Head | Slice index 48 | Axial plane
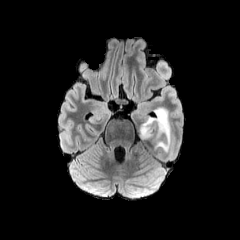
FLAIR MR.
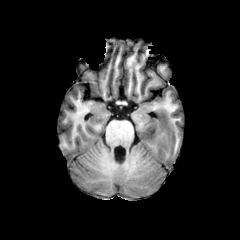
T1-weighted MRI of the same slice.
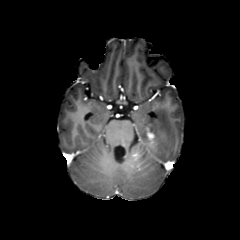
Same slice, post-contrast T1-weighted MR.
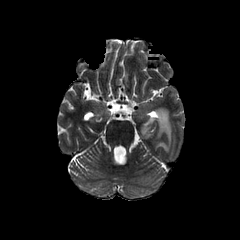
Same slice, T2-weighted MRI.
peritumoral edema: [138, 106, 172, 151] | enhancing tumor: [145, 127, 154, 140]